Head; Slice index 69
FLAIR magnetic resonance.
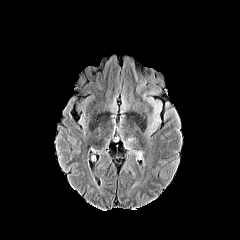
T1-weighted MR image.
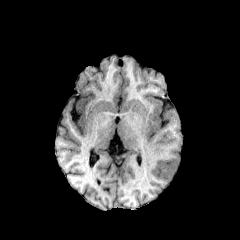
Post-contrast T1-weighted MR image.
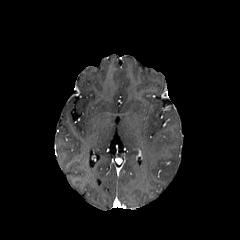
T2-weighted MR.
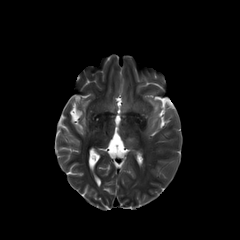
peritumoral edema — 121, 137, 136, 150